FLAIR MR image.
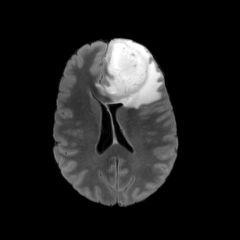
T1-weighted MR.
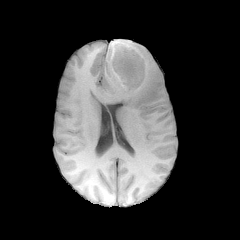
Post-contrast T1-weighted MR.
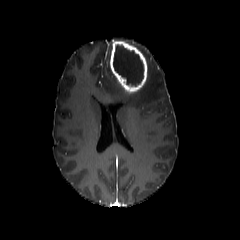
T2-weighted magnetic resonance.
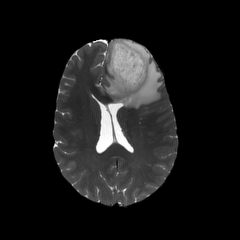
Axial plane; Head
<segmentation>
  <necrotic_tumor_core><bbox>113, 44, 143, 86</bbox></necrotic_tumor_core>
  <enhancing_tumor><bbox>109, 41, 147, 93</bbox></enhancing_tumor>
  <peritumoral_edema><bbox>95, 39, 163, 108</bbox></peritumoral_edema>
</segmentation>